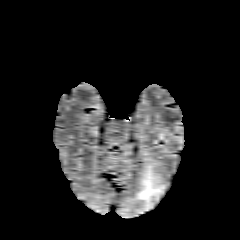
FLAIR MR image.
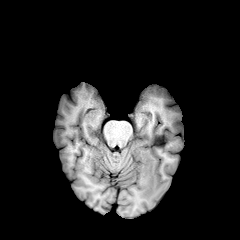
T1-weighted MR image of the same slice.
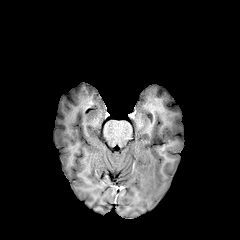
Same slice, post-contrast T1-weighted MR.
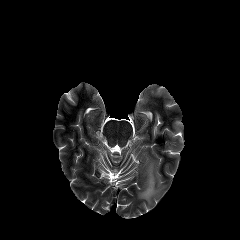
T2-weighted MRI of the same slice.
Brain
The peritumoral edema is bounded by (x1=136, y1=158, x2=165, y2=209).